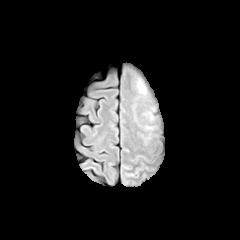
FLAIR MR image.
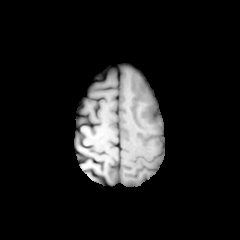
Same slice, T1-weighted MR.
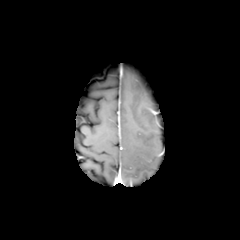
Post-contrast T1-weighted magnetic resonance.
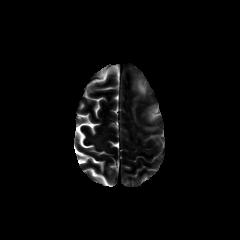
T2-weighted magnetic resonance.
Axial plane
Findings:
- peritumoral edema: box=[137, 79, 146, 93]